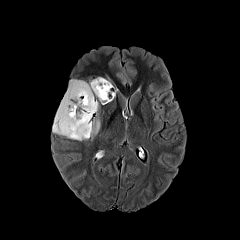
FLAIR MR image.
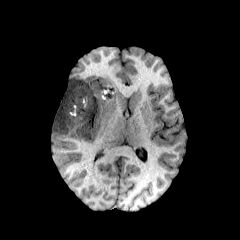
T1-weighted MR of the same slice.
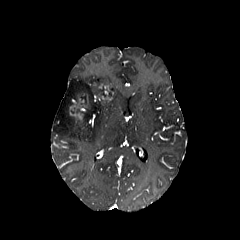
Post-contrast T1-weighted MR image.
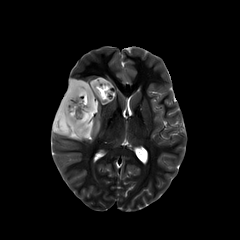
T2-weighted MR image of the same slice.
240x240 | Head
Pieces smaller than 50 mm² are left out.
Findings:
- peritumoral edema: bbox(53, 79, 100, 140); bbox(90, 77, 113, 87)
- necrotic tumor core: bbox(79, 92, 87, 104); bbox(95, 82, 106, 97); bbox(70, 95, 96, 134)
- enhancing tumor: bbox(69, 94, 88, 122); bbox(98, 83, 112, 102)